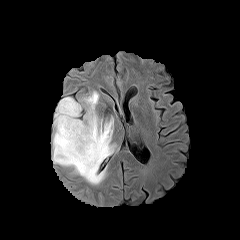
FLAIR MRI.
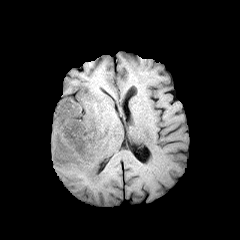
Same slice, T1-weighted MR image.
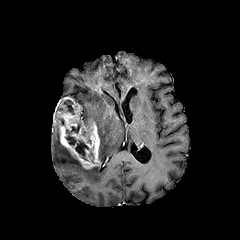
Same slice, post-contrast T1-weighted magnetic resonance.
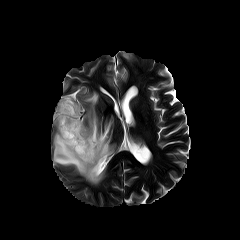
Same slice, T2-weighted magnetic resonance.
Axial view
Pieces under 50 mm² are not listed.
<segmentation>
  <necrotic_tumor_core>box(63, 100, 74, 114); box(66, 123, 88, 160)</necrotic_tumor_core>
  <peritumoral_edema>box(83, 91, 116, 162); box(53, 125, 106, 184)</peritumoral_edema>
  <enhancing_tumor>box(53, 97, 100, 169)</enhancing_tumor>
</segmentation>